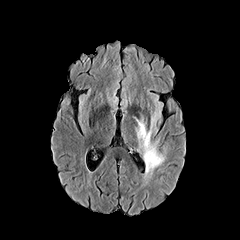
FLAIR MR.
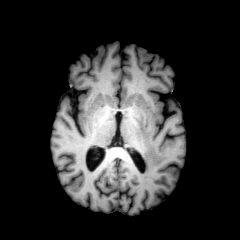
T1-weighted magnetic resonance.
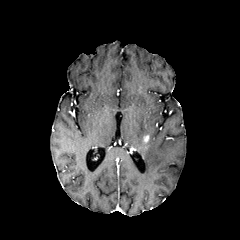
Same slice, post-contrast T1-weighted magnetic resonance.
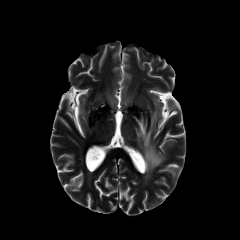
T2-weighted MR image.
240x240 | Brain | Axial slice
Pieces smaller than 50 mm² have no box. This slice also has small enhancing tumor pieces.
peritumoral edema: left=136, top=112, right=167, bottom=173